FLAIR MR.
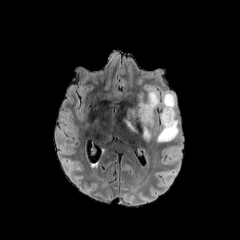
T1-weighted MRI.
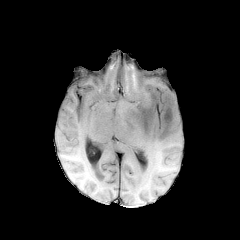
Post-contrast T1-weighted MRI.
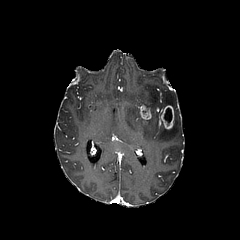
T2-weighted MRI.
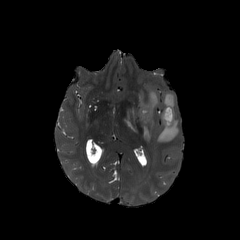
Axial plane | Image size 240x240 | Brain
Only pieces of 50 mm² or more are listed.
Annotated regions:
- peritumoral edema: 124, 87, 179, 141
- necrotic tumor core: 164, 108, 172, 124
- enhancing tumor: 138, 105, 151, 120; 160, 105, 174, 129